Brain.
FLAIR MRI.
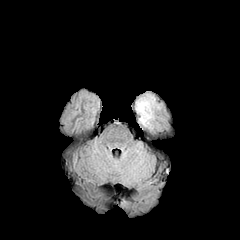
T1-weighted magnetic resonance.
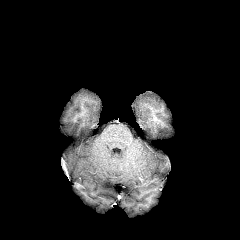
Post-contrast T1-weighted MR.
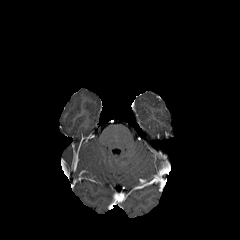
T2-weighted MRI.
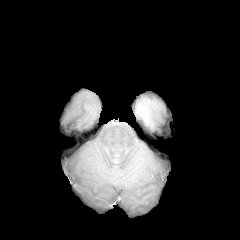
<segmentation>
  <peritumoral_edema>135, 95, 159, 128</peritumoral_edema>
</segmentation>